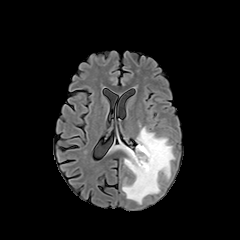
FLAIR MRI.
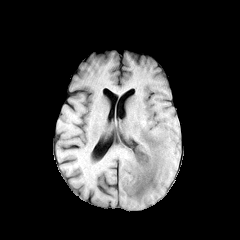
T1-weighted magnetic resonance of the same slice.
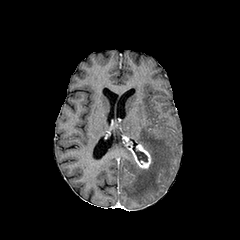
Post-contrast T1-weighted MR.
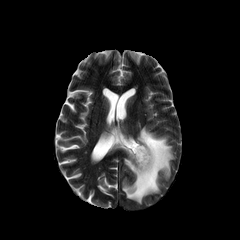
T2-weighted MRI of the same slice.
Axial view | Brain
peritumoral edema — bbox=[113, 127, 174, 204]
enhancing tumor — bbox=[128, 144, 151, 169]
necrotic tumor core — bbox=[133, 148, 147, 161]